Axial plane | Head | Image size 240x240
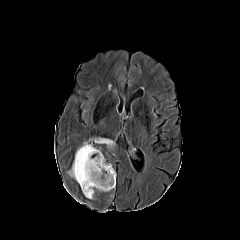
FLAIR MR.
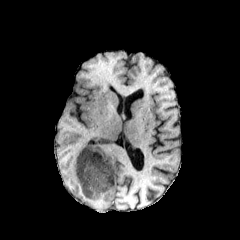
T1-weighted MR image of the same slice.
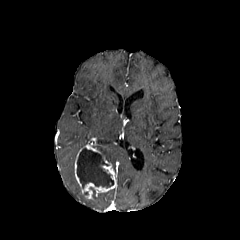
Post-contrast T1-weighted MRI.
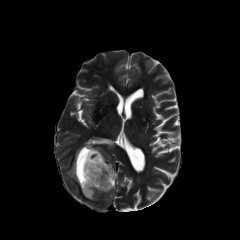
T2-weighted MRI.
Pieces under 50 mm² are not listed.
Annotated regions:
• enhancing tumor: [x1=74, y1=143, x2=115, y2=199]
• peritumoral edema: [x1=95, y1=138, x2=113, y2=148], [x1=67, y1=160, x2=75, y2=179]
• necrotic tumor core: [x1=77, y1=148, x2=113, y2=188]